Image width 240 mm. Head. Axial slice.
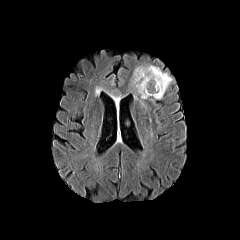
FLAIR MRI.
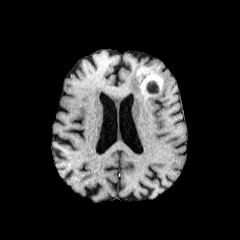
T1-weighted MR image.
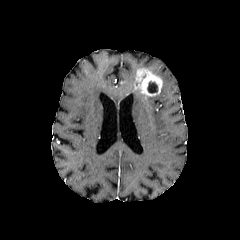
Post-contrast T1-weighted magnetic resonance.
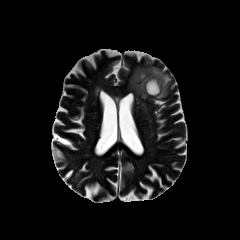
T2-weighted magnetic resonance of the same slice.
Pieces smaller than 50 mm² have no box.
peritumoral edema: (131,65,172,99)
enhancing tumor: (134,68,162,96)
necrotic tumor core: (147,81,157,93)